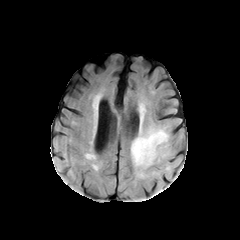
FLAIR MR.
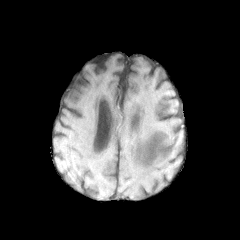
T1-weighted MRI.
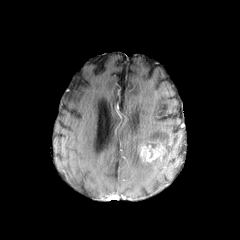
Post-contrast T1-weighted MR image of the same slice.
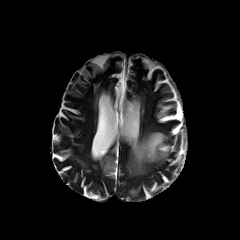
T2-weighted MR image.
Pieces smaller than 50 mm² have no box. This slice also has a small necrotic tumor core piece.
Findings:
- peritumoral edema: box=[131, 128, 170, 175]
- enhancing tumor: box=[138, 139, 166, 162]